FLAIR MR.
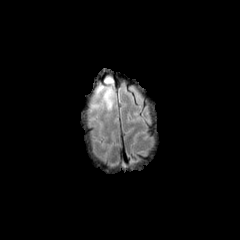
T1-weighted magnetic resonance.
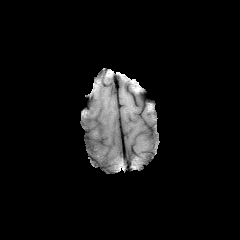
Post-contrast T1-weighted magnetic resonance.
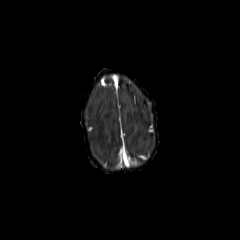
T2-weighted MR image.
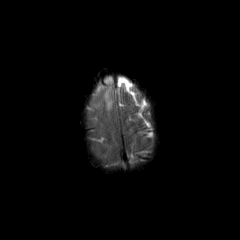
Axial view; Brain
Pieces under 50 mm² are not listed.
{
  "peritumoral_edema": [
    "[104,76,112,83]",
    "[96,84,112,110]"
  ]
}